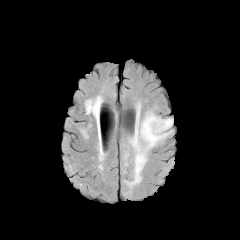
FLAIR magnetic resonance.
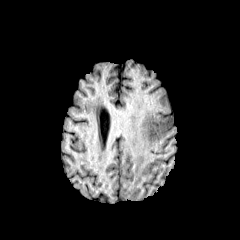
T1-weighted MRI.
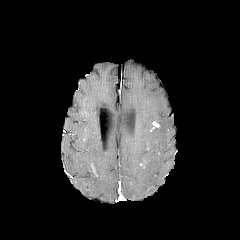
Post-contrast T1-weighted MRI.
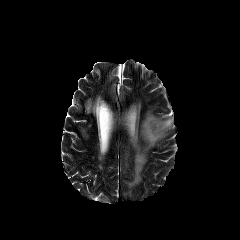
Same slice, T2-weighted MR image.
Axial view. Image size 240x240.
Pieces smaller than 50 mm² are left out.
{"peritumoral_edema": ["124, 102, 173, 188"], "enhancing_tumor": ["150, 121, 159, 131"]}